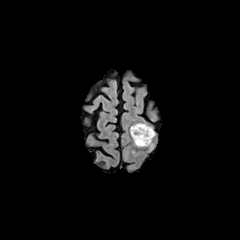
FLAIR MR image.
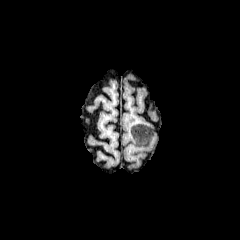
T1-weighted MR image.
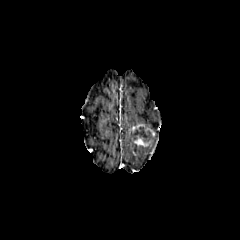
Post-contrast T1-weighted MRI.
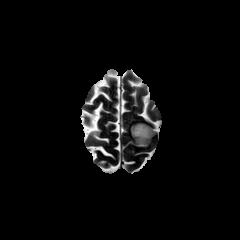
T2-weighted magnetic resonance.
Head | Image size 240x240 | Axial slice
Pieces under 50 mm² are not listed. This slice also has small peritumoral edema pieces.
Findings:
- enhancing tumor: left=134, top=135, right=151, bottom=146; left=130, top=123, right=155, bottom=137
- necrotic tumor core: left=133, top=127, right=151, bottom=141